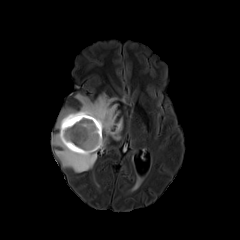
FLAIR magnetic resonance.
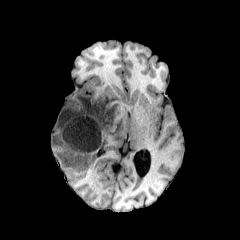
Same slice, T1-weighted MRI.
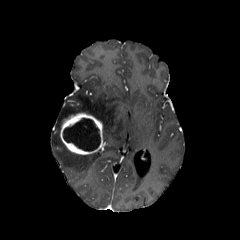
Same slice, post-contrast T1-weighted MR.
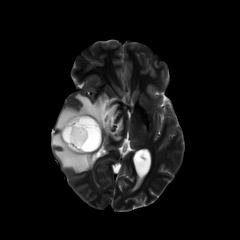
T2-weighted MR image.
necrotic tumor core — (63, 118, 100, 151)
enhancing tumor — (60, 112, 104, 154)
peritumoral edema — (52, 93, 122, 172)